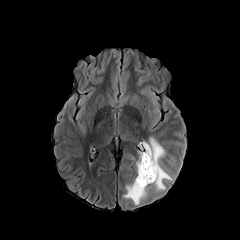
FLAIR MRI.
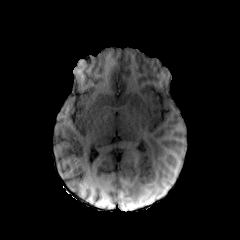
Same slice, T1-weighted MRI.
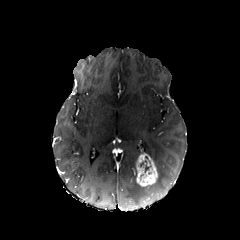
Same slice, post-contrast T1-weighted MRI.
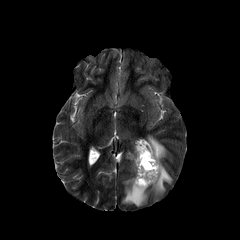
T2-weighted MRI.
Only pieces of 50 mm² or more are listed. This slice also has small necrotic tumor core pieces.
<segmentation>
  <enhancing_tumor><bbox>136, 153, 157, 186</bbox></enhancing_tumor>
  <peritumoral_edema><bbox>122, 136, 173, 205</bbox></peritumoral_edema>
</segmentation>